Axial plane, 240x240
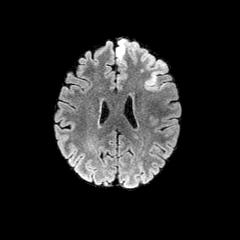
FLAIR MR image.
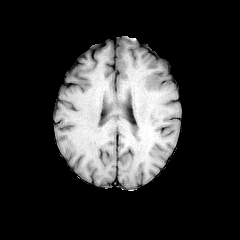
Same slice, T1-weighted MR.
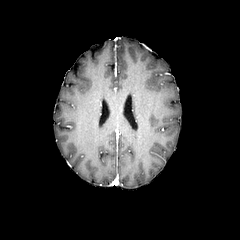
Same slice, post-contrast T1-weighted MR.
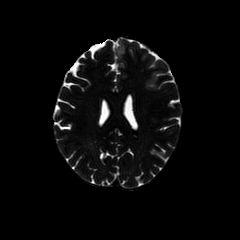
T2-weighted magnetic resonance of the same slice.
2 peritumoral edema regions are bounded by bbox(145, 71, 162, 89); bbox(116, 38, 135, 63).